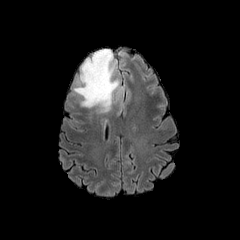
FLAIR MR image.
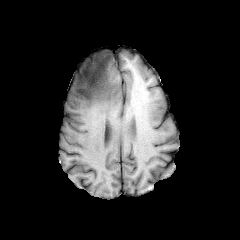
T1-weighted MR.
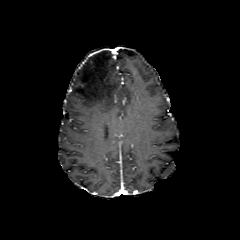
Post-contrast T1-weighted MRI.
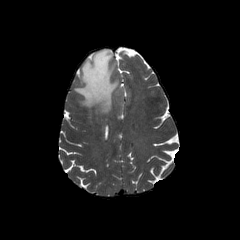
T2-weighted MR of the same slice.
Axial plane; Head
Segmented structures:
* peritumoral edema: x1=73, y1=49, x2=120, y2=114